Image width 240 mm; Axial plane
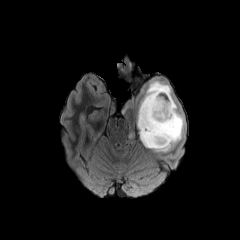
FLAIR magnetic resonance.
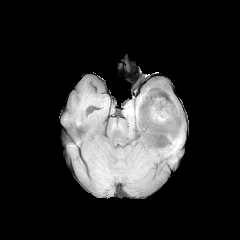
T1-weighted MR.
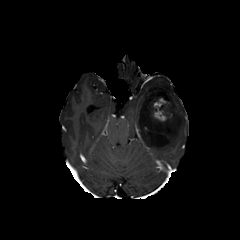
Same slice, post-contrast T1-weighted MR image.
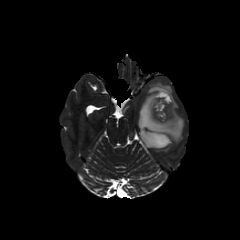
T2-weighted magnetic resonance.
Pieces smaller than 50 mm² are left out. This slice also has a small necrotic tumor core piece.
peritumoral edema: region(137, 82, 184, 151) | enhancing tumor: region(148, 96, 172, 122)